FLAIR MRI.
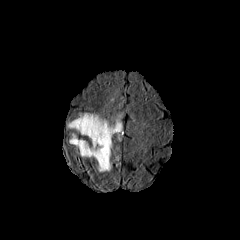
T1-weighted MR.
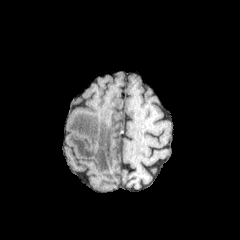
Post-contrast T1-weighted MR image.
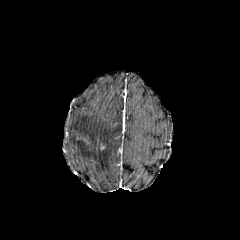
T2-weighted MR image.
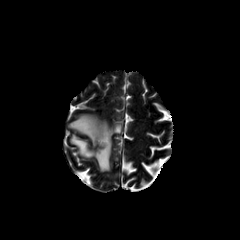
Axial view
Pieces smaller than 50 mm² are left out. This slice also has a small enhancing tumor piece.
peritumoral edema = bbox=[66, 112, 123, 171]; bbox=[113, 155, 121, 166]